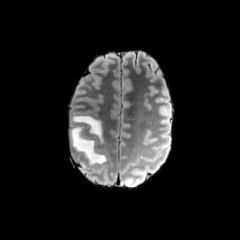
FLAIR magnetic resonance.
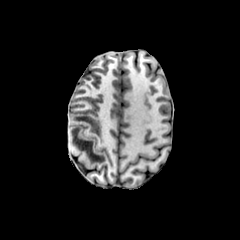
T1-weighted MRI of the same slice.
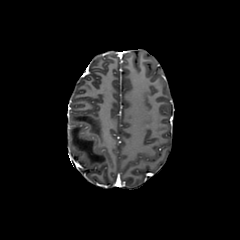
Post-contrast T1-weighted MR.
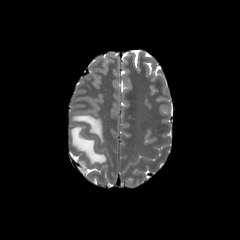
T2-weighted MR image.
Image size 240x240, Brain
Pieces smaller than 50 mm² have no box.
<segmentation>
  <peritumoral_edema>[x1=71, y1=115, x2=102, y2=141], [x1=70, y1=126, x2=106, y2=165]</peritumoral_edema>
</segmentation>